FLAIR MR image.
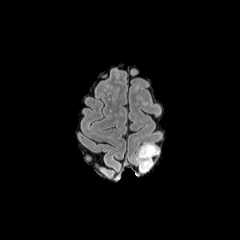
T1-weighted MR.
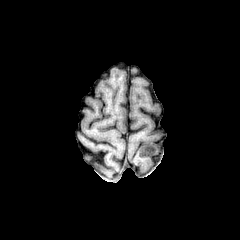
Post-contrast T1-weighted MRI.
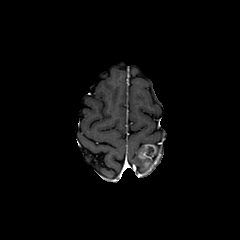
T2-weighted MR.
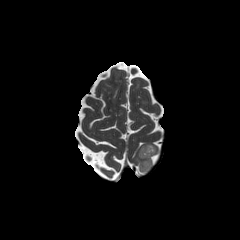
Head | Axial plane
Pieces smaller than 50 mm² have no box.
{
  "enhancing_tumor": [
    "[139,144,156,159]"
  ],
  "necrotic_tumor_core": [
    "[146,147,153,155]"
  ],
  "peritumoral_edema": [
    "[136,154,152,172]"
  ]
}